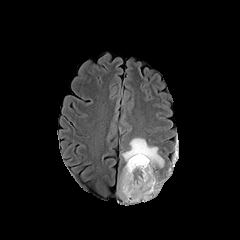
FLAIR MRI.
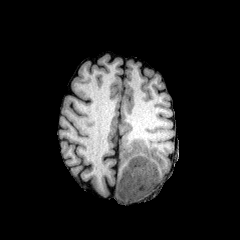
Same slice, T1-weighted MR.
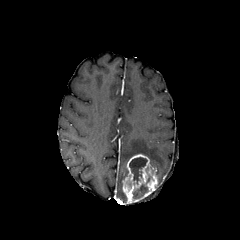
Same slice, post-contrast T1-weighted magnetic resonance.
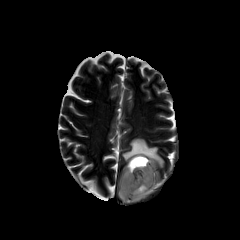
T2-weighted MR image.
Head
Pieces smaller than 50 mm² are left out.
The largest enhancing tumor region appears at (x1=122, y1=154, x2=159, y2=203). The 2 largest peritumoral edema regions are located at (x1=122, y1=138, x2=164, y2=167), (x1=118, y1=173, x2=125, y2=200). The 2 largest necrotic tumor core regions are bounded by (x1=129, y1=157, x2=147, y2=183), (x1=133, y1=184, x2=147, y2=198).